Slice 110 of 155, Image size 240x240, Axial slice, Image width 240 mm, 1.00 mm slice spacing, Brain
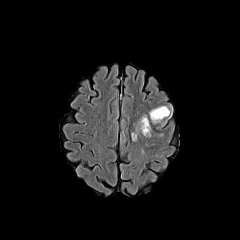
FLAIR MR.
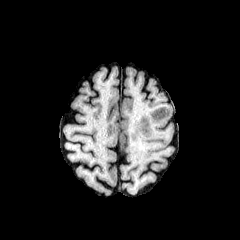
T1-weighted MRI.
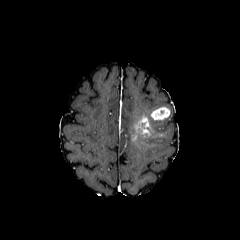
Post-contrast T1-weighted MRI of the same slice.
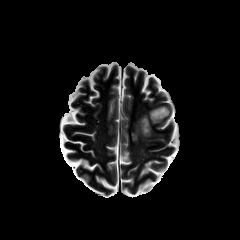
Same slice, T2-weighted MR image.
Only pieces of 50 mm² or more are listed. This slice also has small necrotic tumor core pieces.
<segmentation>
  <enhancing_tumor>(left=132, top=116, right=151, bottom=140), (left=150, top=107, right=170, bottom=120)</enhancing_tumor>
  <peritumoral_edema>(left=146, top=129, right=163, bottom=137), (left=161, top=104, right=172, bottom=126)</peritumoral_edema>
</segmentation>